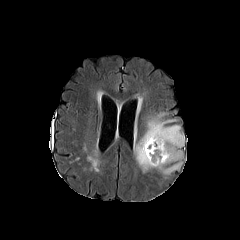
FLAIR magnetic resonance.
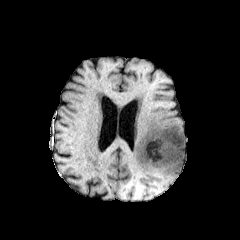
T1-weighted MR image of the same slice.
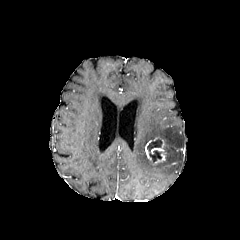
Post-contrast T1-weighted MRI of the same slice.
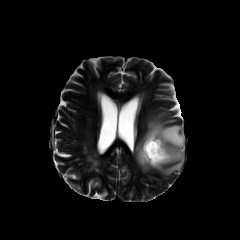
T2-weighted magnetic resonance.
Head
Annotated regions:
* necrotic tumor core: (147,139,162,162)
* enhancing tumor: (145,137,166,166)
* peritumoral edema: (134,112,184,175)